FLAIR MR.
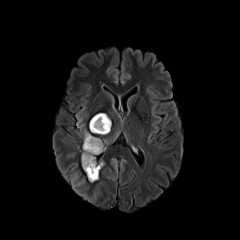
T1-weighted MR.
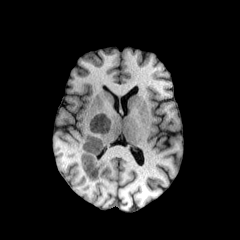
Post-contrast T1-weighted magnetic resonance.
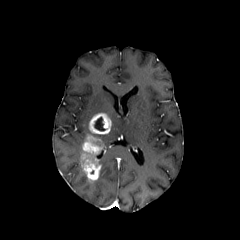
T2-weighted magnetic resonance.
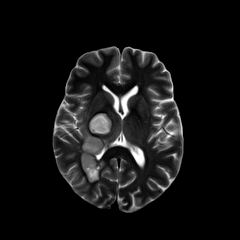
Head
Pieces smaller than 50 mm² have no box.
necrotic tumor core = 94:117:105:130
peritumoral edema = 77:117:89:140
enhancing tumor = 89:113:111:134, 81:134:104:180